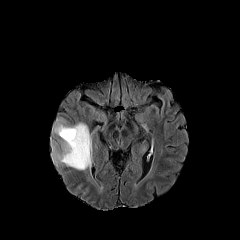
FLAIR magnetic resonance.
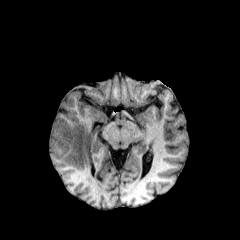
T1-weighted MRI.
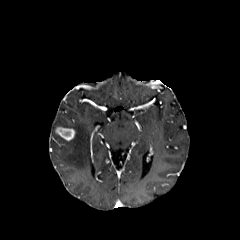
Post-contrast T1-weighted MR.
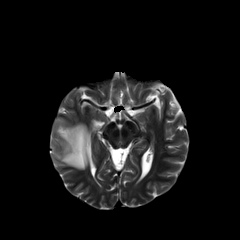
T2-weighted MR image.
peritumoral_edema:
  - bbox=[50, 117, 91, 170]
enhancing_tumor:
  - bbox=[55, 126, 75, 141]